FLAIR MRI.
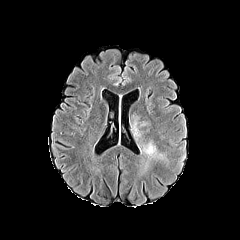
T1-weighted magnetic resonance.
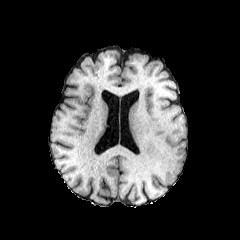
Post-contrast T1-weighted MR image.
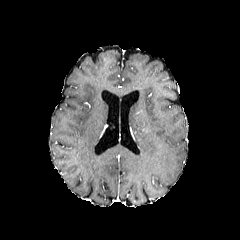
T2-weighted MRI.
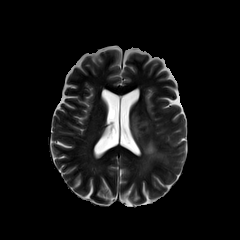
Head.
peritumoral edema at region(130, 112, 146, 139); region(141, 142, 168, 171)